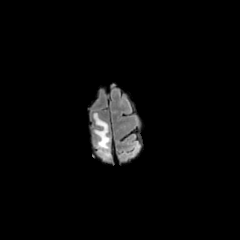
FLAIR magnetic resonance.
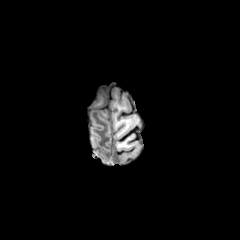
T1-weighted MRI.
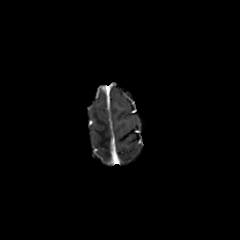
Post-contrast T1-weighted MR image of the same slice.
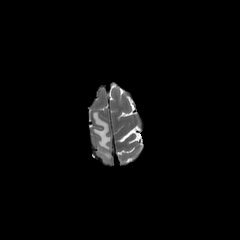
T2-weighted magnetic resonance of the same slice.
Axial slice | Brain
{"peritumoral_edema": ["93,113,110,160"]}